Image width 240 mm; Head
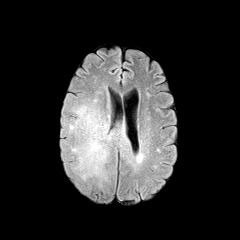
FLAIR MRI.
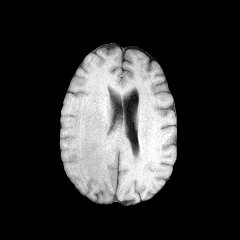
T1-weighted MRI of the same slice.
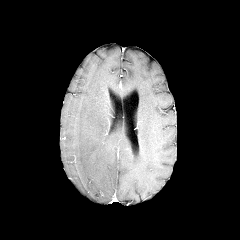
Post-contrast T1-weighted MR image of the same slice.
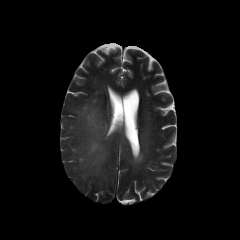
T2-weighted MR.
peritumoral_edema:
  - [x1=69, y1=99, x2=126, y2=181]